FLAIR MRI.
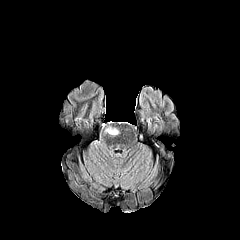
T1-weighted MR.
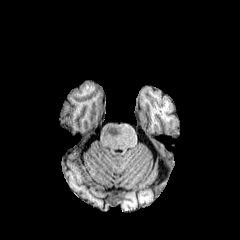
Post-contrast T1-weighted MRI.
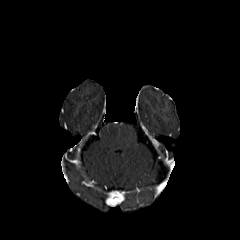
T2-weighted magnetic resonance.
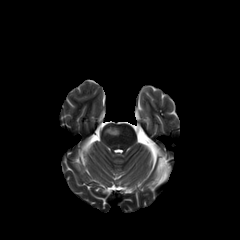
Brain; 240x240
* peritumoral edema: bbox=[104, 126, 119, 135]